Brain; 240x240 px; Axial view
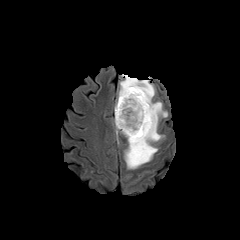
FLAIR MR.
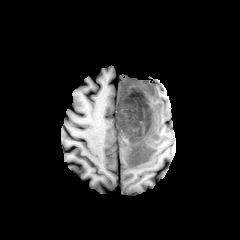
Same slice, T1-weighted MRI.
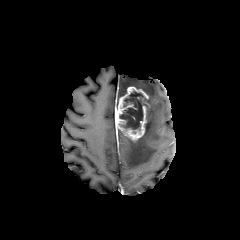
Post-contrast T1-weighted MR.
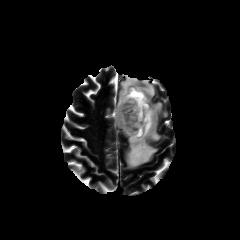
T2-weighted MR.
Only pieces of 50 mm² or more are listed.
enhancing tumor: x1=115, y1=86, x2=149, y2=141 | peritumoral edema: x1=117, y1=74, x2=167, y2=169 | necrotic tumor core: x1=119, y1=91, x2=143, y2=129